FLAIR magnetic resonance.
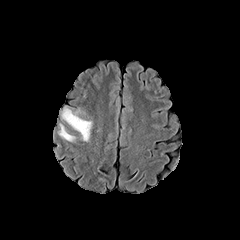
T1-weighted MRI.
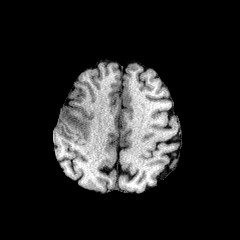
Post-contrast T1-weighted MR image.
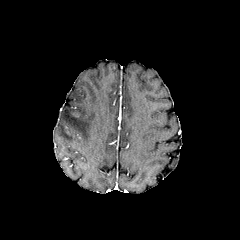
T2-weighted MR.
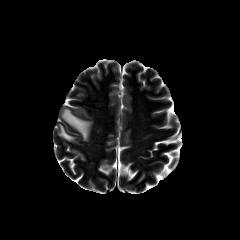
Axial view
peritumoral edema — bbox(58, 124, 75, 141); bbox(61, 107, 92, 141)